FLAIR magnetic resonance.
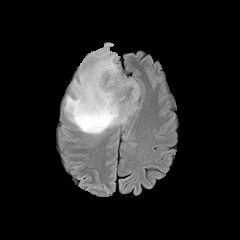
T1-weighted MR image.
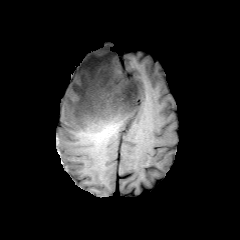
Post-contrast T1-weighted magnetic resonance.
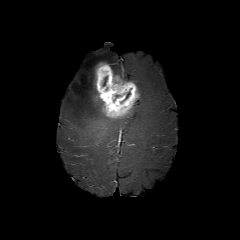
T2-weighted MR image.
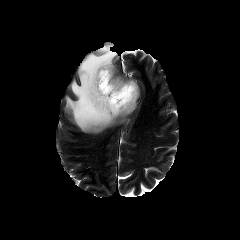
Axial plane
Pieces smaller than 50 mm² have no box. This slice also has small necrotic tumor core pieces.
enhancing tumor at [94, 62, 139, 118]
peritumoral edema at [64, 44, 129, 134]